FLAIR magnetic resonance.
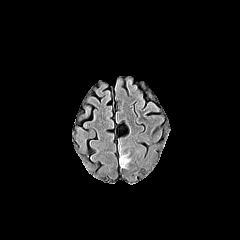
T1-weighted MRI.
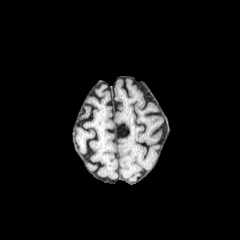
Post-contrast T1-weighted MR.
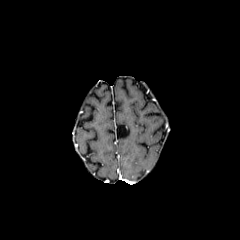
T2-weighted MRI.
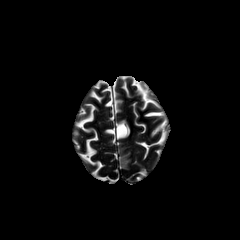
Brain. Axial slice. 240x240.
peritumoral edema: rect(119, 148, 129, 167)